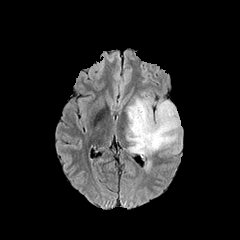
FLAIR magnetic resonance.
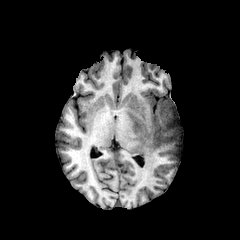
Same slice, T1-weighted MR image.
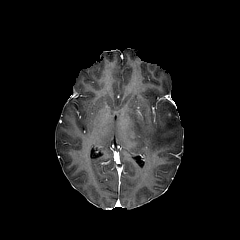
Same slice, post-contrast T1-weighted MR image.
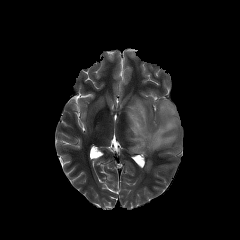
T2-weighted MR image of the same slice.
Brain.
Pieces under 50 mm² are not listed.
The largest peritumoral edema region is at bbox(126, 98, 180, 155).